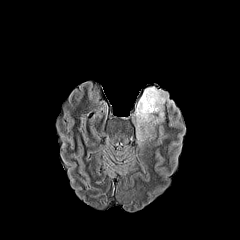
FLAIR MRI.
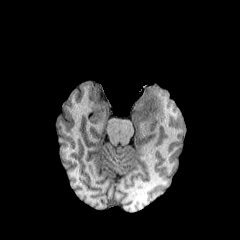
T1-weighted MRI of the same slice.
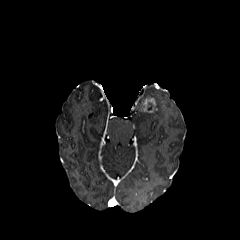
Post-contrast T1-weighted MR.
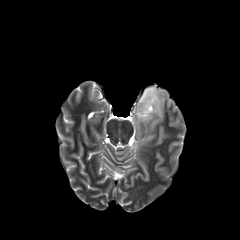
T2-weighted MRI.
Head
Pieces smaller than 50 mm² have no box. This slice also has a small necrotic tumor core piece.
The peritumoral edema is at x1=134 y1=87 x2=167 y2=141. The enhancing tumor lies within x1=140 y1=97 x2=157 y2=112.